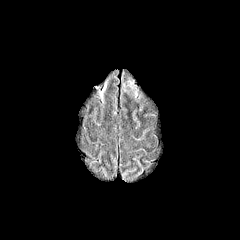
FLAIR MR.
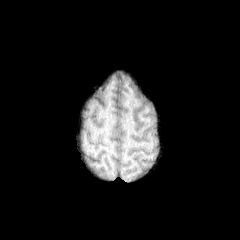
Same slice, T1-weighted MR image.
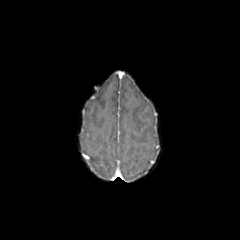
Post-contrast T1-weighted MRI of the same slice.
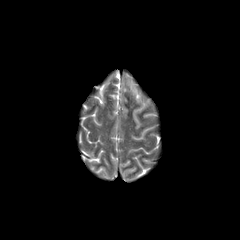
T2-weighted magnetic resonance.
Brain; Axial view
Annotated regions:
- peritumoral edema: l=126, t=76, r=138, b=97